Axial plane. Image width 240 mm. Brain.
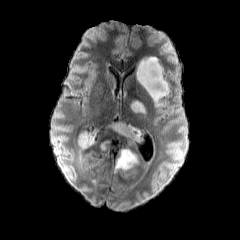
FLAIR magnetic resonance.
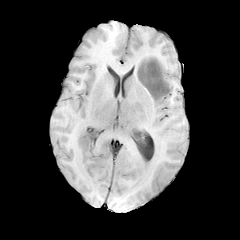
Same slice, T1-weighted MR image.
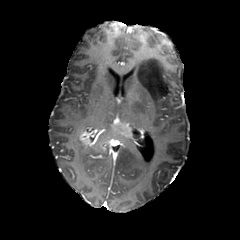
Post-contrast T1-weighted MR image.
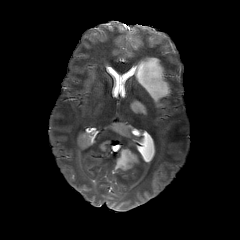
Same slice, T2-weighted MR image.
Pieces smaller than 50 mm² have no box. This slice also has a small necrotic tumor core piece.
enhancing_tumor:
  - {"x1": 100, "y1": 141, "x2": 109, "y2": 150}
  - {"x1": 110, "y1": 120, "x2": 133, "y2": 137}
  - {"x1": 79, "y1": 131, "x2": 98, "y2": 147}
peritumoral_edema:
  - {"x1": 135, "y1": 133, "x2": 147, "y2": 143}
  - {"x1": 130, "y1": 100, "x2": 145, "y2": 114}
  - {"x1": 115, "y1": 149, "x2": 139, "y2": 169}
  - {"x1": 136, "y1": 57, "x2": 170, "y2": 105}